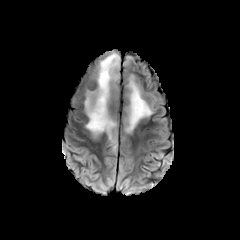
FLAIR MR.
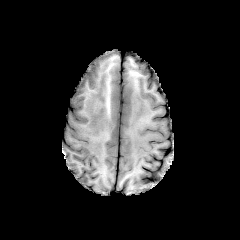
T1-weighted MR.
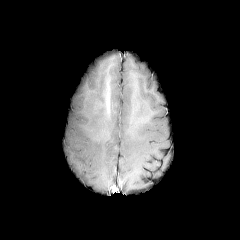
Post-contrast T1-weighted MR of the same slice.
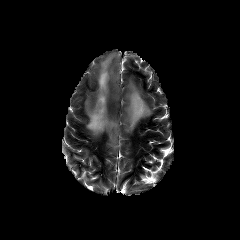
T2-weighted magnetic resonance.
Axial slice
peritumoral edema: 124, 74, 152, 133; 84, 52, 119, 152